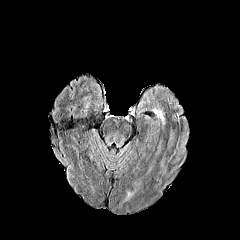
FLAIR MR.
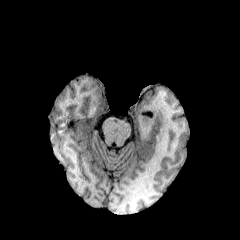
Same slice, T1-weighted MRI.
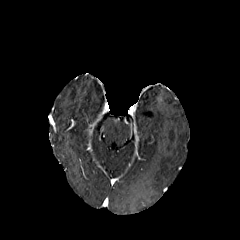
Post-contrast T1-weighted MRI.
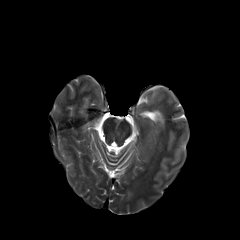
Same slice, T2-weighted MRI.
Axial slice | Head
The peritumoral edema is located at x1=156, y1=111, x2=164, y2=123.